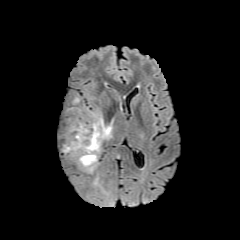
FLAIR MR.
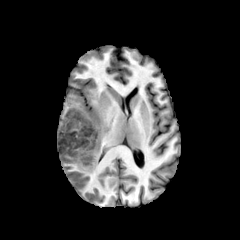
T1-weighted MR image of the same slice.
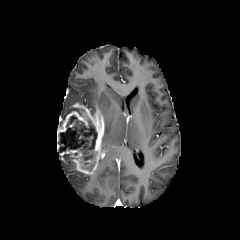
Post-contrast T1-weighted magnetic resonance.
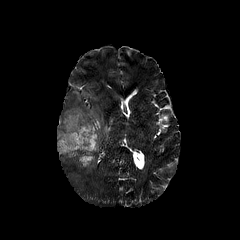
T2-weighted magnetic resonance.
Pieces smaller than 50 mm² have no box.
<segmentation>
  <necrotic_tumor_core>58:115:97:160, 83:161:95:170</necrotic_tumor_core>
  <enhancing_tumor>57:103:104:174</enhancing_tumor>
  <peritumoral_edema>102:120:112:141</peritumoral_edema>
</segmentation>